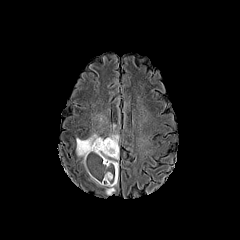
FLAIR MR.
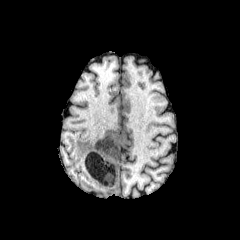
T1-weighted magnetic resonance.
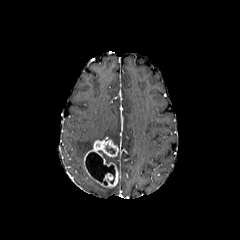
Post-contrast T1-weighted magnetic resonance of the same slice.
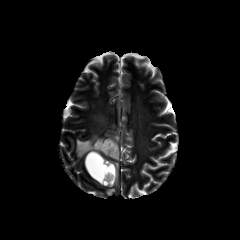
T2-weighted magnetic resonance.
240x240. Brain.
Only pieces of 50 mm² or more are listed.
{
  "enhancing_tumor": [
    "[83,139,118,187]"
  ],
  "necrotic_tumor_core": [
    "[85,152,115,185]"
  ],
  "peritumoral_edema": [
    "[108,134,118,144]",
    "[105,187,115,194]",
    "[76,134,102,157]"
  ]
}